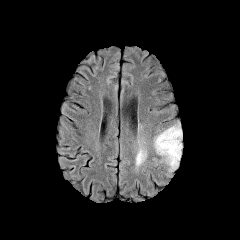
FLAIR MRI.
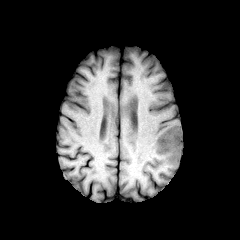
Same slice, T1-weighted MRI.
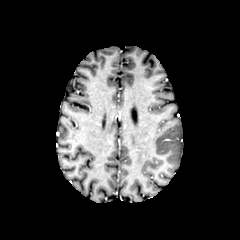
Post-contrast T1-weighted MRI.
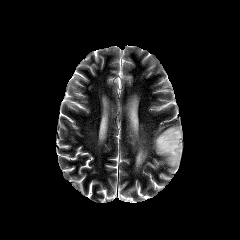
Same slice, T2-weighted MR image.
Head
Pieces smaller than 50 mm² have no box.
The 2 largest peritumoral edema regions are bounded by x1=152 y1=124 x2=182 y2=171, x1=129 y1=147 x2=146 y2=174.